Slice 111/155, Axial view
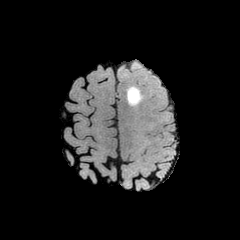
FLAIR MR.
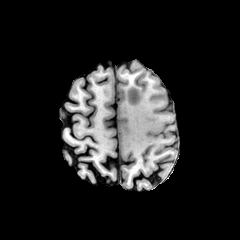
Same slice, T1-weighted MRI.
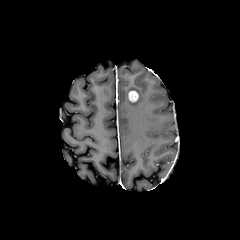
Same slice, post-contrast T1-weighted MR image.
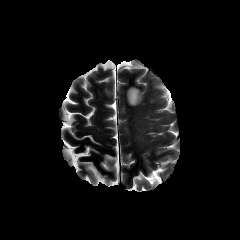
T2-weighted MR of the same slice.
enhancing tumor: (left=128, top=90, right=138, bottom=102) | peritumoral edema: (left=126, top=86, right=142, bottom=105)